FLAIR MRI.
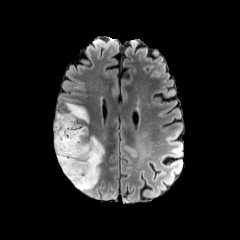
T1-weighted MRI.
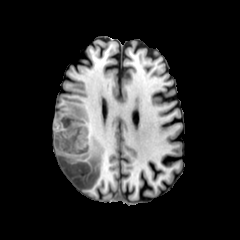
Post-contrast T1-weighted magnetic resonance.
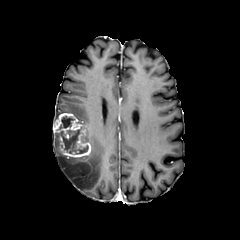
T2-weighted magnetic resonance.
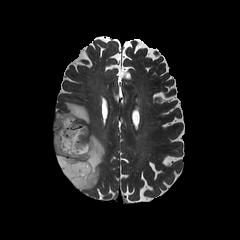
Axial plane.
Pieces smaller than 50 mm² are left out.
- necrotic tumor core: {"x1": 56, "y1": 127, "x2": 88, "y2": 154}, {"x1": 57, "y1": 114, "x2": 73, "y2": 129}
- peritumoral edema: {"x1": 55, "y1": 101, "x2": 91, "y2": 126}, {"x1": 54, "y1": 134, "x2": 104, "y2": 191}
- enhancing tumor: {"x1": 53, "y1": 113, "x2": 91, "y2": 157}